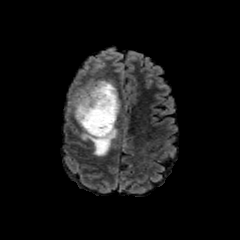
FLAIR MR.
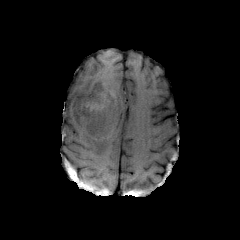
Same slice, T1-weighted MR.
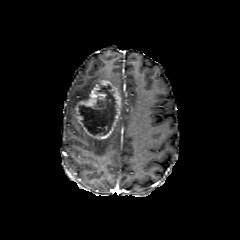
Post-contrast T1-weighted MRI.
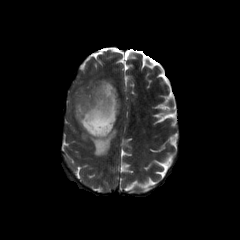
T2-weighted MR image.
Brain | 240x240 px
Findings:
• enhancing tumor: x1=75, y1=80, x2=120, y2=139
• necrotic tumor core: x1=79, y1=84, x2=116, y2=135
• peritumoral edema: x1=68, y1=79, x2=100, y2=115; x1=80, y1=126, x2=117, y2=156